FLAIR MR.
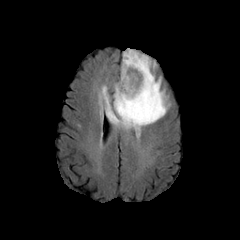
T1-weighted MR image.
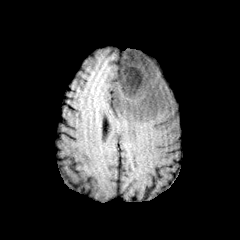
Post-contrast T1-weighted MR image.
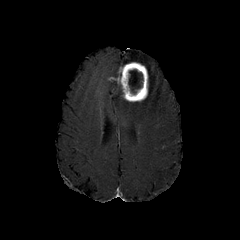
T2-weighted MR image.
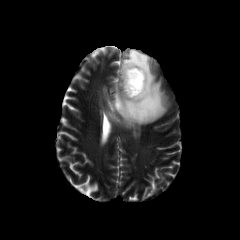
240x240
The enhancing tumor is at [x1=116, y1=62, x2=148, y2=101]. The necrotic tumor core is at [x1=129, y1=70, x2=142, y2=92]. The peritumoral edema is at [x1=100, y1=49, x2=169, y2=131].